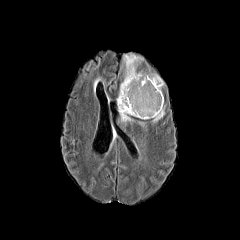
FLAIR MRI.
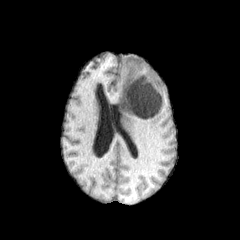
T1-weighted MR image of the same slice.
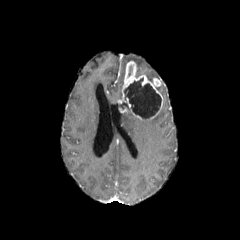
Post-contrast T1-weighted MR.
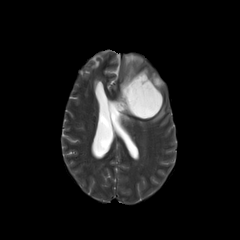
Same slice, T2-weighted MR.
Brain
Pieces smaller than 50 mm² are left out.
necrotic tumor core at box(124, 78, 161, 118)
peritumoral edema at box(152, 106, 164, 122); box(123, 54, 142, 65); box(120, 112, 133, 122); box(117, 81, 123, 100); box(137, 72, 159, 80)
enhancing tumor at box(117, 61, 163, 119)